Brain.
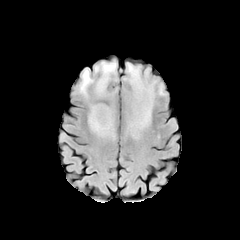
FLAIR MRI.
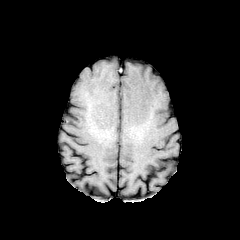
T1-weighted MR.
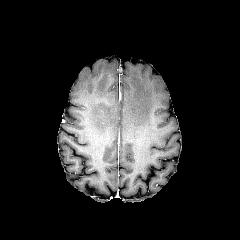
Post-contrast T1-weighted MR image.
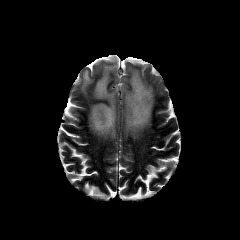
T2-weighted magnetic resonance.
peritumoral edema: [123, 63, 163, 132], [94, 60, 117, 100], [89, 104, 114, 136], [79, 68, 93, 95]